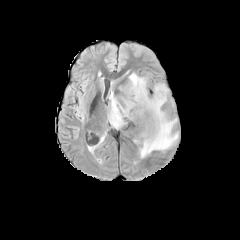
FLAIR MRI.
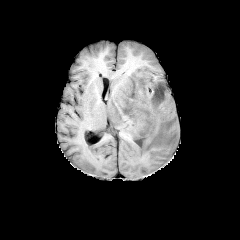
T1-weighted MR.
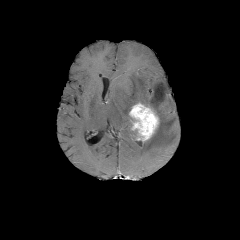
Post-contrast T1-weighted MR of the same slice.
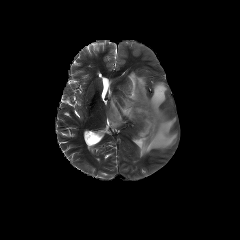
Same slice, T2-weighted MR image.
Axial slice | Head
The peritumoral edema is bounded by [x1=108, y1=73, x2=178, y2=157]. The enhancing tumor is bounded by [x1=129, y1=102, x2=159, y2=141].